FLAIR MR.
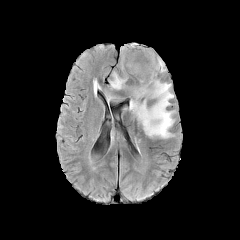
T1-weighted MRI.
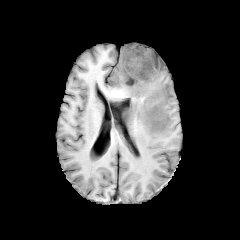
Post-contrast T1-weighted MR.
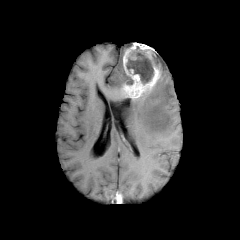
T2-weighted magnetic resonance.
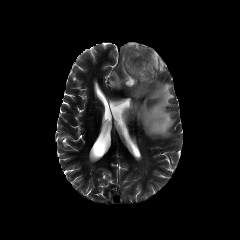
Brain
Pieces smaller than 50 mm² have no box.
necrotic tumor core — box(126, 52, 153, 83); box(125, 76, 133, 84)
enhancing tumor — box(122, 42, 161, 99)
peritumoral edema — box(158, 56, 165, 73); box(110, 44, 131, 89); box(129, 79, 174, 138)